FLAIR MRI.
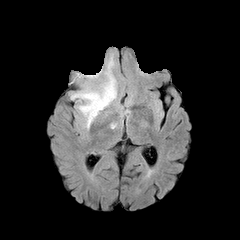
T1-weighted MR image.
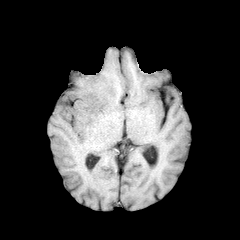
Post-contrast T1-weighted MRI.
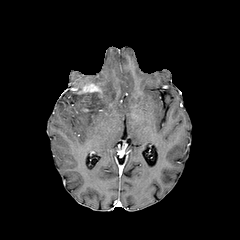
T2-weighted MR.
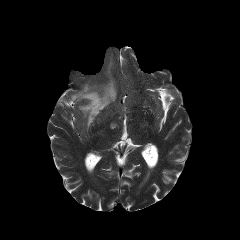
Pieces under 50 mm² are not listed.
peritumoral_edema:
  - 71,57,117,128
enhancing_tumor:
  - 78,83,101,93